FLAIR MR.
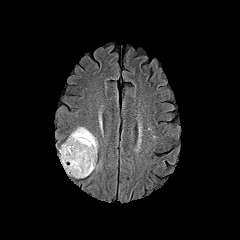
T1-weighted magnetic resonance.
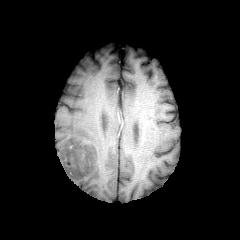
Post-contrast T1-weighted MR image.
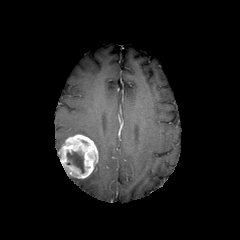
T2-weighted MR.
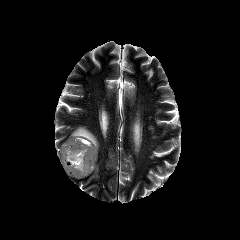
Image size 240x240 | Head | Axial slice
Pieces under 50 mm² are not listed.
<segmentation>
  <enhancing_tumor>{"x1": 59, "y1": 134, "x2": 97, "y2": 178}</enhancing_tumor>
  <peritumoral_edema>{"x1": 69, "y1": 127, "x2": 98, "y2": 148}</peritumoral_edema>
  <necrotic_tumor_core>{"x1": 67, "y1": 147, "x2": 85, "y2": 172}</necrotic_tumor_core>
</segmentation>